FLAIR MRI.
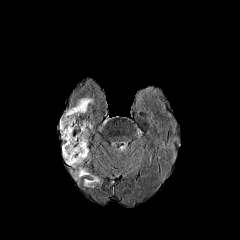
T1-weighted MR.
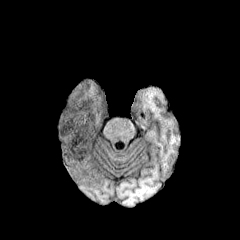
Post-contrast T1-weighted MR image.
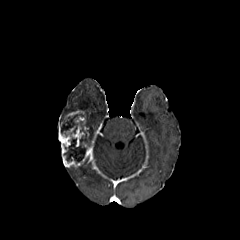
T2-weighted MR image.
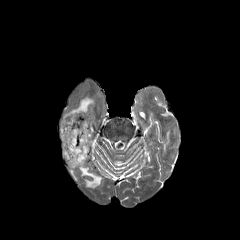
Axial plane. 240x240 px.
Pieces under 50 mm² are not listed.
enhancing_tumor:
  - {"x1": 59, "y1": 122, "x2": 90, "y2": 166}
  - {"x1": 75, "y1": 116, "x2": 89, "y2": 138}
  - {"x1": 64, "y1": 110, "x2": 84, "y2": 120}
peritumoral_edema:
  - {"x1": 79, "y1": 167, "x2": 100, "y2": 187}
  - {"x1": 66, "y1": 97, "x2": 93, "y2": 114}
necrotic_tumor_core:
  - {"x1": 61, "y1": 114, "x2": 89, "y2": 162}